Image width 240 mm, Head
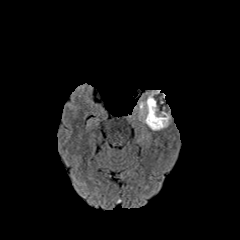
FLAIR MR image.
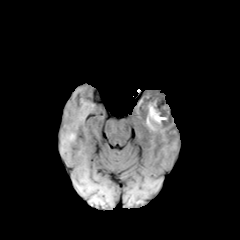
T1-weighted MR image of the same slice.
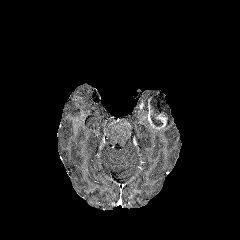
Post-contrast T1-weighted MR image of the same slice.
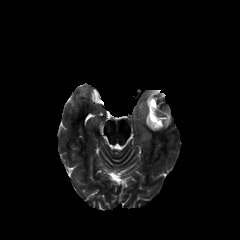
Same slice, T2-weighted MRI.
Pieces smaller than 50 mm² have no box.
{"peritumoral_edema": ["<box>165,104,171,127</box>", "<box>134,90,160,130</box>"], "enhancing_tumor": ["<box>142,98,167,129</box>"], "necrotic_tumor_core": ["<box>150,93,167,126</box>"]}